Brain, Axial view
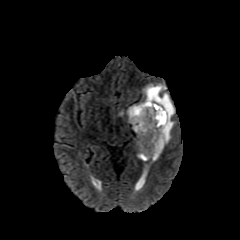
FLAIR MR.
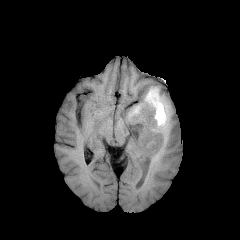
Same slice, T1-weighted MR image.
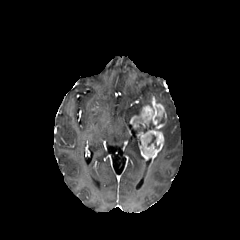
Same slice, post-contrast T1-weighted MRI.
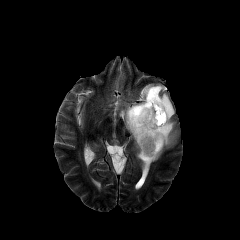
Same slice, T2-weighted MR.
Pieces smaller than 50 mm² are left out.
necrotic_tumor_core:
  - [148,135,159,148]
  - [137,121,154,133]
peritumoral_edema:
  - [135,137,145,160]
  - [119,83,175,161]
enhancing_tumor:
  - [130,96,166,161]